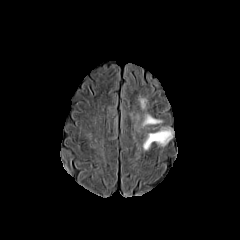
FLAIR MR.
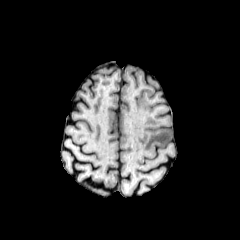
T1-weighted magnetic resonance of the same slice.
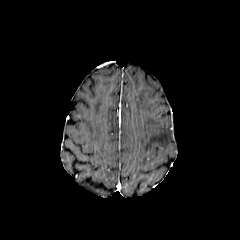
Post-contrast T1-weighted MR image of the same slice.
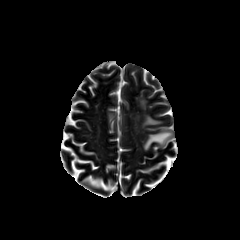
Same slice, T2-weighted magnetic resonance.
Head
Segmented structures:
• peritumoral edema: (x1=143, y1=126, x2=174, y2=150), (x1=140, y1=98, x2=146, y2=108), (x1=142, y1=114, x2=161, y2=126)